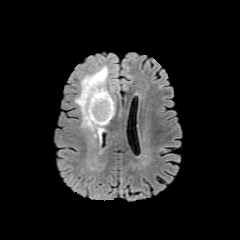
FLAIR MR.
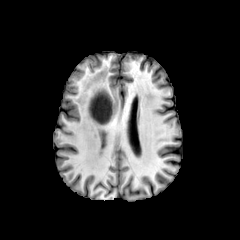
T1-weighted MR image of the same slice.
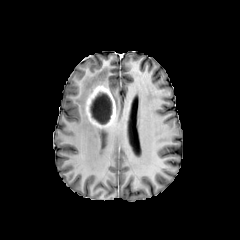
Same slice, post-contrast T1-weighted MR.
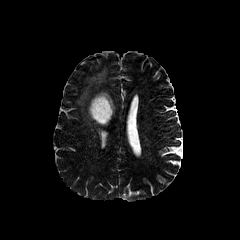
T2-weighted MR image.
Axial slice, Brain
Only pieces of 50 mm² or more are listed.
enhancing_tumor:
  - 85,85,115,127
peritumoral_edema:
  - 75,66,108,139
necrotic_tumor_core:
  - 90,93,112,124